FLAIR MR image.
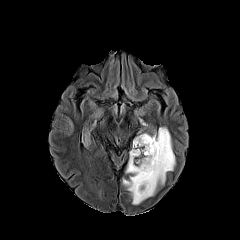
T1-weighted MR.
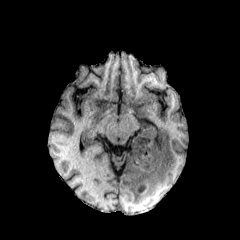
Post-contrast T1-weighted MR image.
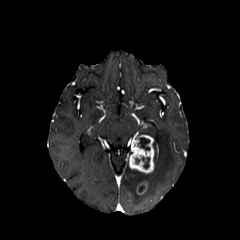
T2-weighted MR.
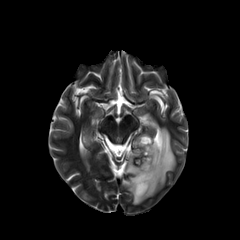
Head
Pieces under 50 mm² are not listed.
{
  "necrotic_tumor_core": [
    "region(138, 137, 149, 150)",
    "region(142, 156, 149, 168)"
  ],
  "peritumoral_edema": [
    "region(83, 132, 90, 146)",
    "region(122, 127, 175, 204)"
  ],
  "enhancing_tumor": [
    "region(136, 181, 147, 194)",
    "region(129, 134, 154, 173)"
  ]
}